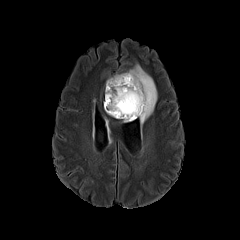
FLAIR magnetic resonance.
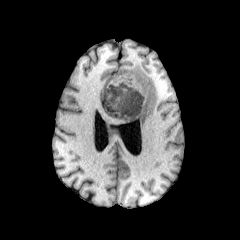
Same slice, T1-weighted MR image.
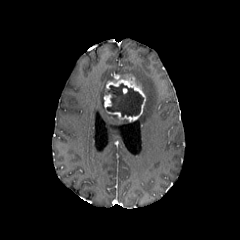
Post-contrast T1-weighted MR of the same slice.
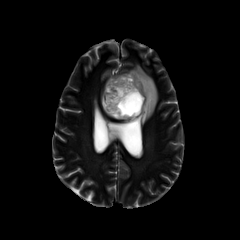
T2-weighted MR image.
Brain
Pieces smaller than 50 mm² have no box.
peritumoral edema: bounding box left=119, top=64, right=157, bottom=124
enhancing tumor: bounding box left=104, top=94, right=111, bottom=108; left=106, top=74, right=145, bottom=121
necrotic tumor core: bounding box left=106, top=83, right=143, bottom=116